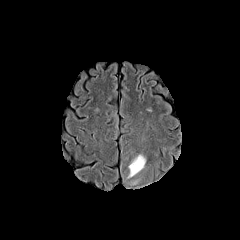
FLAIR MR image.
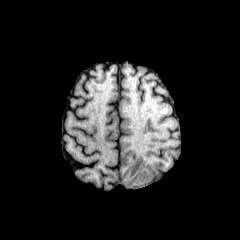
T1-weighted MRI.
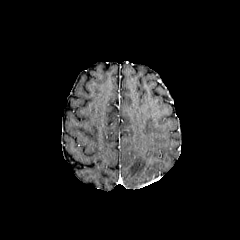
Post-contrast T1-weighted MR image.
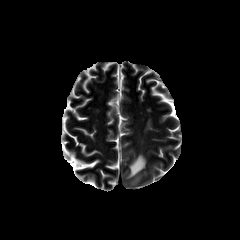
Same slice, T2-weighted MRI.
Axial view
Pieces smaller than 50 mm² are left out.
Segmented structures:
- peritumoral edema: (left=127, top=154, right=146, bottom=178)